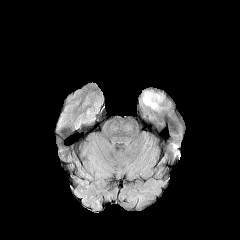
FLAIR magnetic resonance.
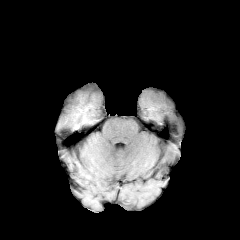
T1-weighted magnetic resonance of the same slice.
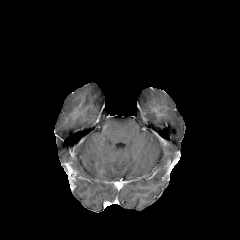
Post-contrast T1-weighted magnetic resonance.
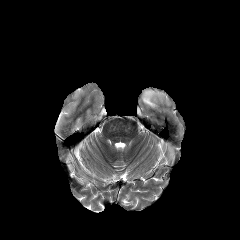
T2-weighted MR image.
The peritumoral edema is bounded by bbox(142, 91, 162, 109).